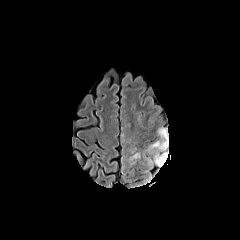
FLAIR MR image.
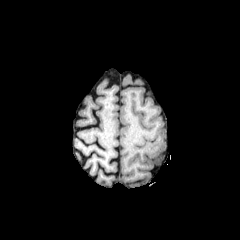
Same slice, T1-weighted MR image.
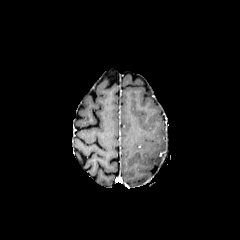
Post-contrast T1-weighted MR of the same slice.
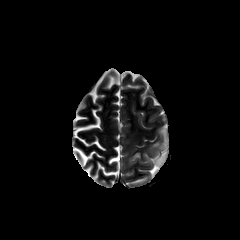
T2-weighted MRI of the same slice.
Axial slice.
The peritumoral edema is at 122 127 168 171.